Brain. Slice 109 of 155.
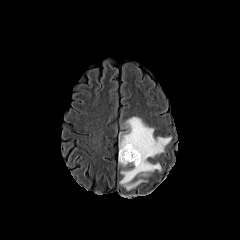
FLAIR MRI.
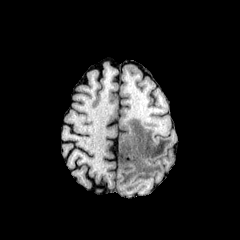
Same slice, T1-weighted MRI.
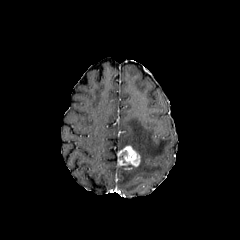
Post-contrast T1-weighted MR image.
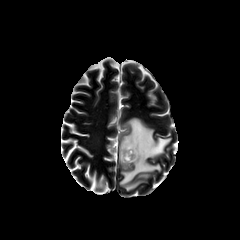
T2-weighted MR image of the same slice.
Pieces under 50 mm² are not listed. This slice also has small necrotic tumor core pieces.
peritumoral edema — [119, 117, 171, 190]
enhancing tumor — [118, 145, 140, 166]